Axial slice | Image width 240 mm, 1.00 mm slice spacing | Brain
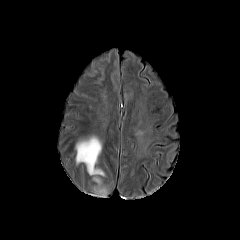
FLAIR MR image.
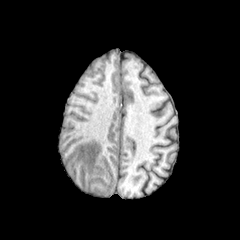
T1-weighted MRI.
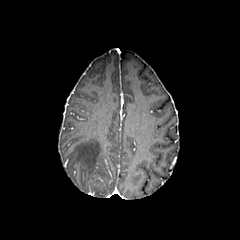
Post-contrast T1-weighted MR image.
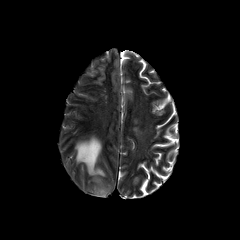
T2-weighted MRI.
2 peritumoral edema regions are located at <bbox>95, 188, 107, 196</bbox>, <bbox>75, 136, 104, 183</bbox>.